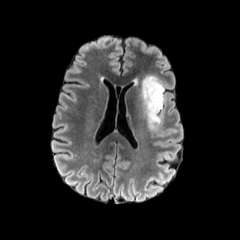
FLAIR magnetic resonance.
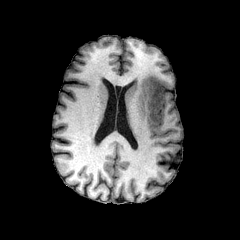
T1-weighted MR image.
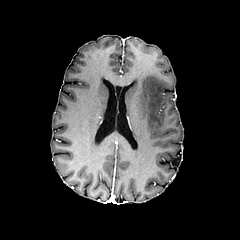
Same slice, post-contrast T1-weighted MRI.
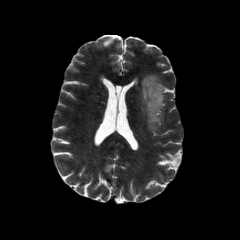
T2-weighted MR image.
Brain
The peritumoral edema appears at bbox(140, 75, 165, 131).